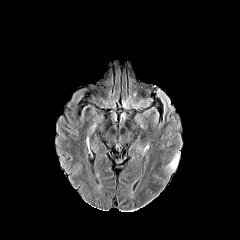
FLAIR MRI.
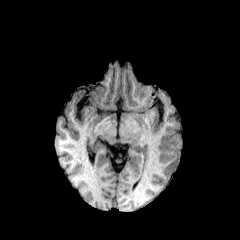
T1-weighted MR.
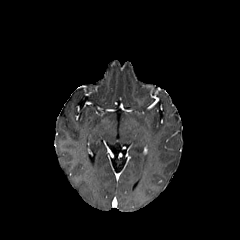
Same slice, post-contrast T1-weighted MR.
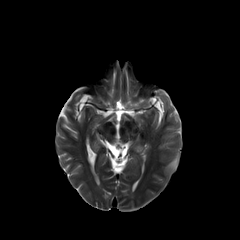
Same slice, T2-weighted MR image.
Brain
peritumoral edema: left=167, top=154, right=179, bottom=171